FLAIR MRI.
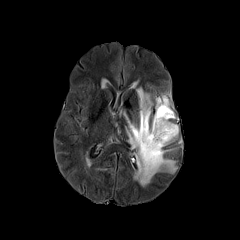
T1-weighted magnetic resonance.
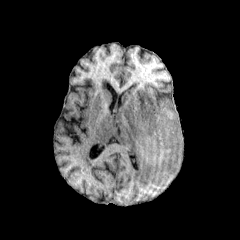
Post-contrast T1-weighted magnetic resonance.
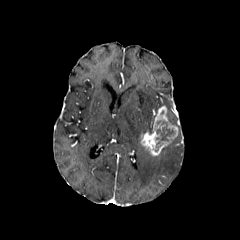
T2-weighted MR image.
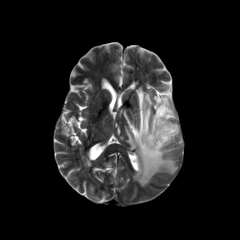
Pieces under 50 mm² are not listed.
necrotic tumor core: bounding box box(155, 121, 174, 151); box(166, 108, 177, 126)
enhancing tumor: bounding box box(140, 106, 178, 155)
peritumoral edema: bounding box box(124, 87, 177, 186); box(155, 95, 170, 114)